FLAIR MRI.
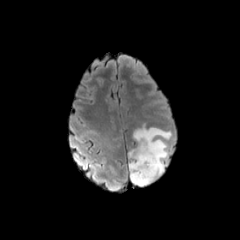
T1-weighted MR image.
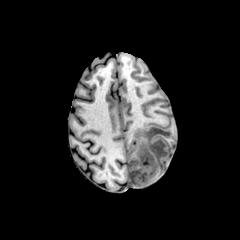
Post-contrast T1-weighted MR image.
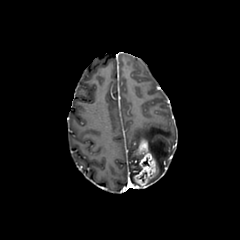
T2-weighted MR image.
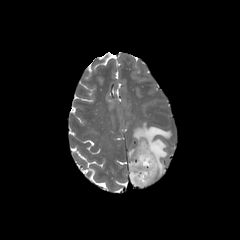
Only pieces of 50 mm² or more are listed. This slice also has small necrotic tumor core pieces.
The largest enhancing tumor region is at [x1=133, y1=139, x2=156, y2=186]. 2 peritumoral edema regions are located at [x1=128, y1=147, x2=140, y2=184], [x1=133, y1=123, x2=171, y2=183].